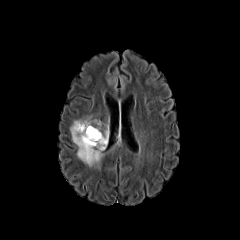
FLAIR MR.
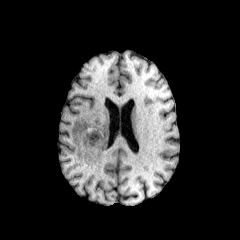
T1-weighted MRI.
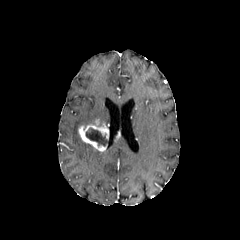
Same slice, post-contrast T1-weighted MRI.
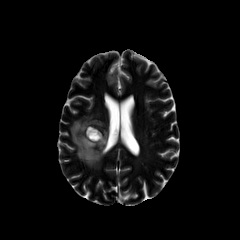
Same slice, T2-weighted magnetic resonance.
Head
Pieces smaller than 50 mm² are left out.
necrotic tumor core: bounding box box(86, 128, 108, 145)
peritumoral edema: bounding box box(70, 116, 104, 166)
enhancing tumor: bounding box box(78, 119, 109, 151)